240x240 px, Slice index 58
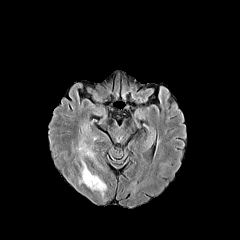
FLAIR MRI.
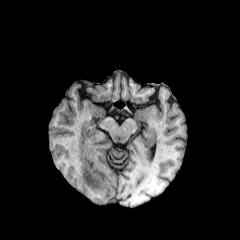
Same slice, T1-weighted magnetic resonance.
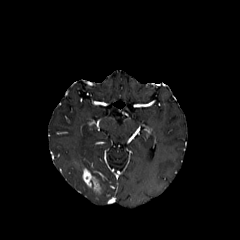
Post-contrast T1-weighted MR.
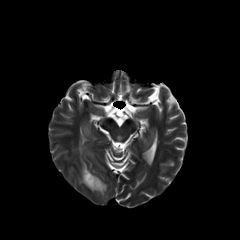
Same slice, T2-weighted MR image.
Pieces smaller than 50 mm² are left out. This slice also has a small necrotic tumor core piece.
<segmentation>
  <enhancing_tumor>[82,168,101,193]</enhancing_tumor>
  <peritumoral_edema>[100,179,107,197], [76,123,105,173]</peritumoral_edema>
</segmentation>